Head. Slice index 67. 240x240 px.
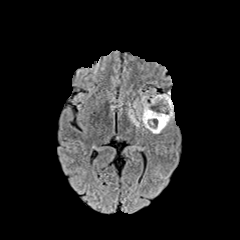
FLAIR MR image.
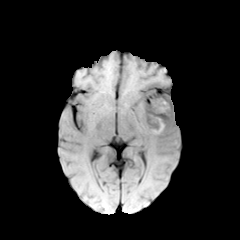
T1-weighted MR of the same slice.
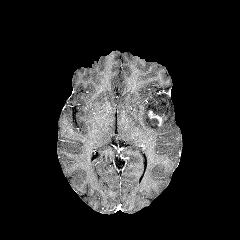
Post-contrast T1-weighted MRI of the same slice.
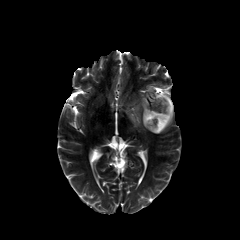
T2-weighted MR image of the same slice.
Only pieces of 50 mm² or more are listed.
necrotic tumor core: 147:116:159:128, 149:96:167:116 | enhancing tumor: 148:110:163:126 | peritumoral edema: 128:94:174:133